FLAIR MR.
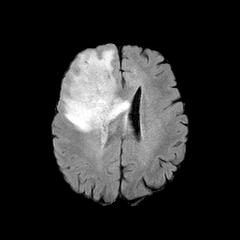
T1-weighted MRI.
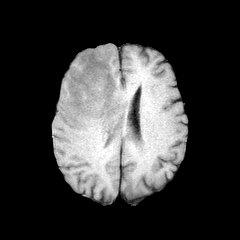
Post-contrast T1-weighted MR image.
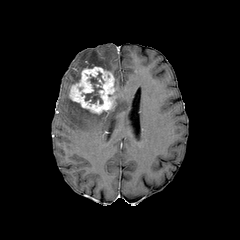
T2-weighted magnetic resonance.
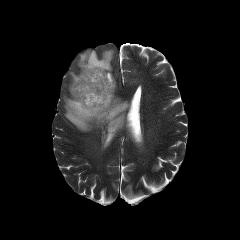
Head
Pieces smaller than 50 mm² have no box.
necrotic tumor core at l=84, t=77, r=102, b=103
peritumoral edema at l=70, t=49, r=114, b=84; l=63, t=97, r=129, b=133
enhancing tumor at l=69, t=66, r=116, b=114